Brain, 240x240
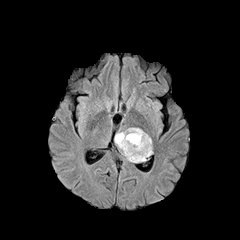
FLAIR magnetic resonance.
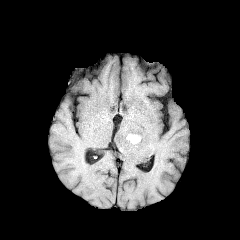
T1-weighted MRI.
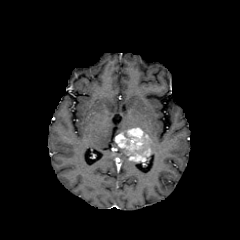
Same slice, post-contrast T1-weighted MRI.
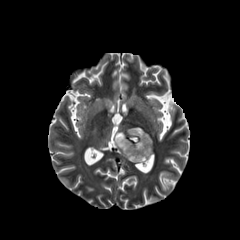
T2-weighted MR image.
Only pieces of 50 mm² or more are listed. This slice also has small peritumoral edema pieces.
enhancing tumor: bounding box x1=115, y1=128, x2=151, y2=162